Axial view, Slice 42/155
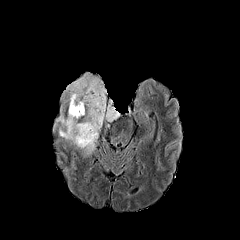
FLAIR magnetic resonance.
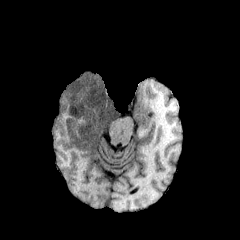
T1-weighted MRI.
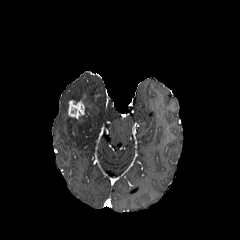
Same slice, post-contrast T1-weighted MR image.
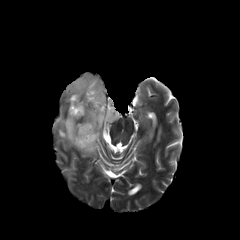
T2-weighted MR of the same slice.
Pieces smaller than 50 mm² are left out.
The enhancing tumor lies within x1=68, y1=97, x2=85, y2=118. The largest peritumoral edema region appears at x1=56, y1=73, x2=119, y2=153.